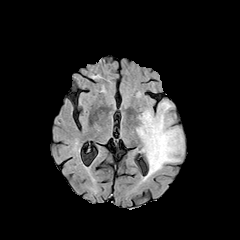
FLAIR MRI.
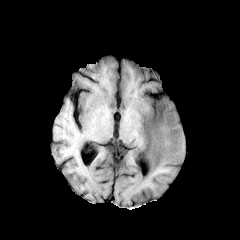
T1-weighted MR image.
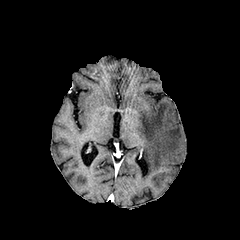
Same slice, post-contrast T1-weighted MR.
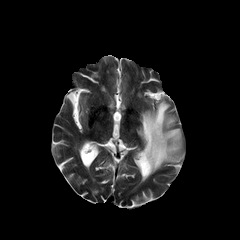
T2-weighted MR.
Head
peritumoral edema = bbox(137, 100, 183, 180)